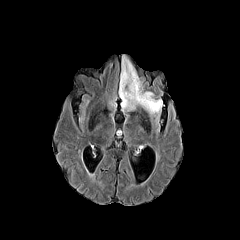
FLAIR MRI.
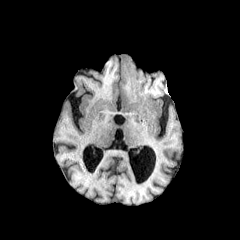
T1-weighted MR.
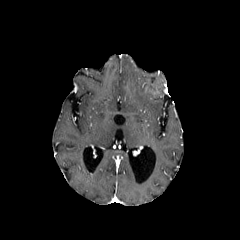
Same slice, post-contrast T1-weighted MRI.
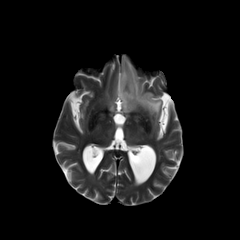
T2-weighted MRI.
peritumoral edema: bounding box l=119, t=55, r=162, b=123